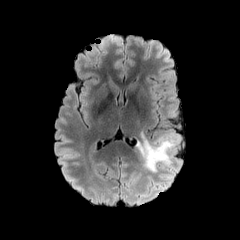
FLAIR MR.
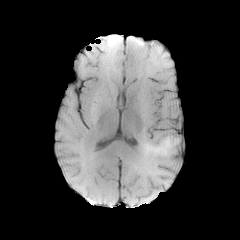
T1-weighted MRI.
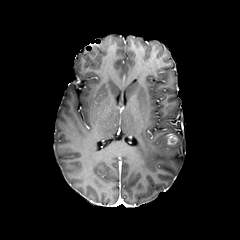
Same slice, post-contrast T1-weighted MRI.
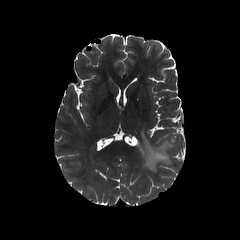
T2-weighted MR image of the same slice.
240x240 | Brain | Axial view
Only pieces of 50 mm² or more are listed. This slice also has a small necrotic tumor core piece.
peritumoral edema = 136 131 177 172
enhancing tumor = 167 134 177 146